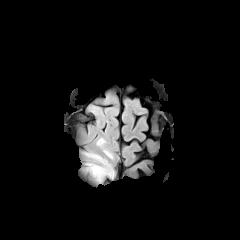
FLAIR MR image.
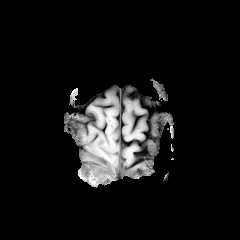
T1-weighted MR image.
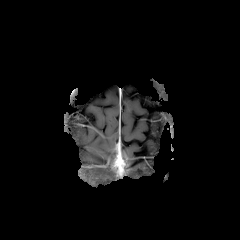
Same slice, post-contrast T1-weighted MR image.
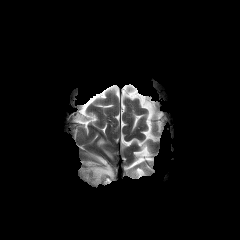
Same slice, T2-weighted MR.
240x240
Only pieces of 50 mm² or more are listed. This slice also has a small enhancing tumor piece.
The 2 largest peritumoral edema regions appear at {"x1": 87, "y1": 164, "x2": 113, "y2": 181}, {"x1": 90, "y1": 154, "x2": 106, "y2": 164}.